FLAIR magnetic resonance.
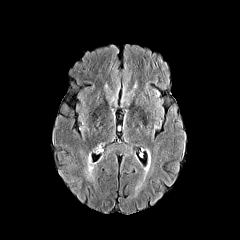
T1-weighted MRI.
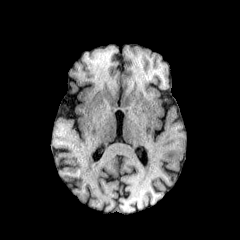
Post-contrast T1-weighted magnetic resonance.
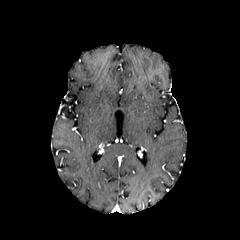
T2-weighted MR.
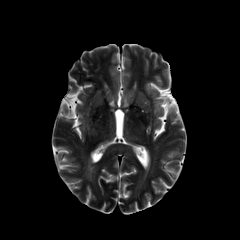
240x240. Axial plane.
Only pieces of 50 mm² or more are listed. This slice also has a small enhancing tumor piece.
Segmented structures:
- peritumoral edema: l=85, t=162, r=95, b=180